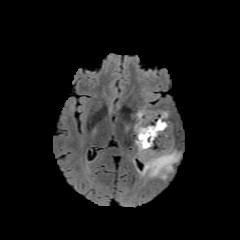
FLAIR MRI.
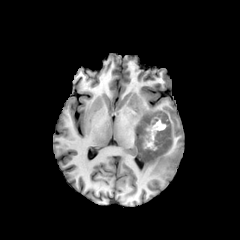
T1-weighted MR image.
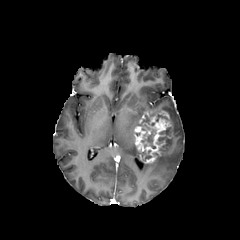
Post-contrast T1-weighted MR image.
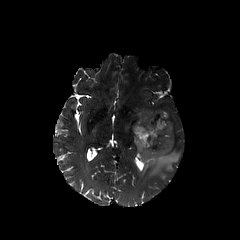
T2-weighted MR.
Axial slice
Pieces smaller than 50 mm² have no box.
<segmentation>
  <enhancing_tumor>box(134, 111, 171, 163)</enhancing_tumor>
  <peritumoral_edema>box(134, 109, 146, 128); box(139, 139, 180, 179)</peritumoral_edema>
  <necrotic_tumor_core>box(157, 127, 170, 151); box(139, 151, 151, 160); box(141, 125, 155, 148); box(156, 113, 167, 121)</necrotic_tumor_core>
</segmentation>